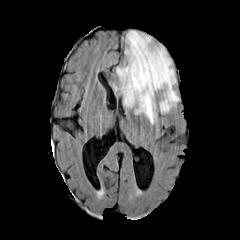
FLAIR MRI.
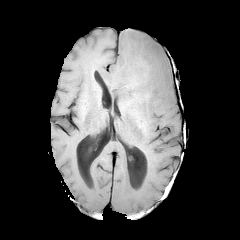
T1-weighted MR.
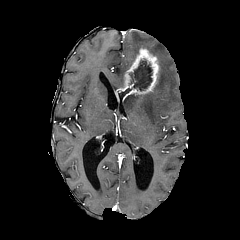
Post-contrast T1-weighted magnetic resonance.
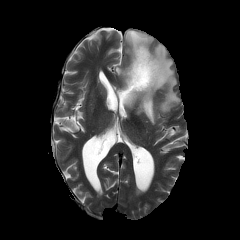
T2-weighted magnetic resonance.
Brain | Image size 240x240 | Axial view
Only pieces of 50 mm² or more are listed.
{
  "enhancing_tumor": [
    "(116,46,160,98)"
  ],
  "peritumoral_edema": [
    "(116,30,178,124)"
  ],
  "necrotic_tumor_core": [
    "(129,60,152,90)"
  ]
}